Head; Slice 74 of 155
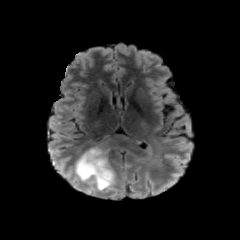
FLAIR MR image.
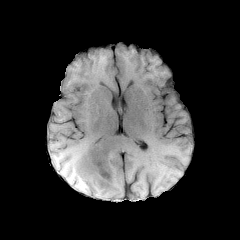
T1-weighted MR image.
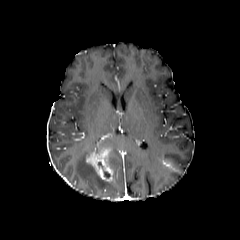
Post-contrast T1-weighted magnetic resonance.
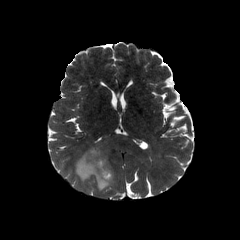
Same slice, T2-weighted MR image.
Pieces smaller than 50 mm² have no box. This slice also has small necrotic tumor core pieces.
The enhancing tumor is located at box=[86, 148, 113, 182]. The largest peritumoral edema region appears at box=[73, 145, 115, 190].